FLAIR MR.
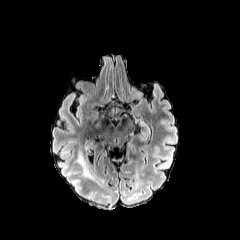
T1-weighted magnetic resonance.
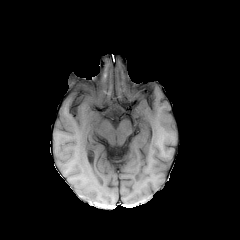
Post-contrast T1-weighted MR.
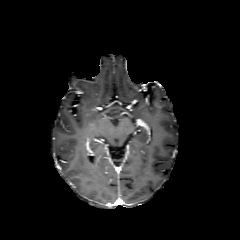
T2-weighted MR image.
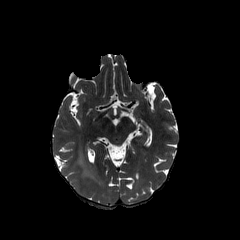
240x240 | Axial view
The peritumoral edema is at (77, 154, 92, 177).